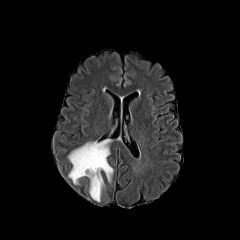
FLAIR MR image.
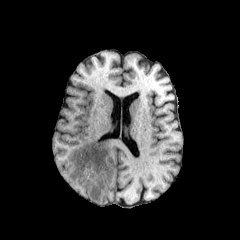
T1-weighted magnetic resonance of the same slice.
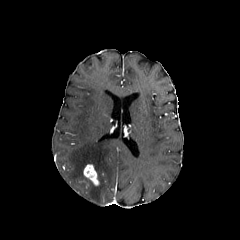
Post-contrast T1-weighted MR image of the same slice.
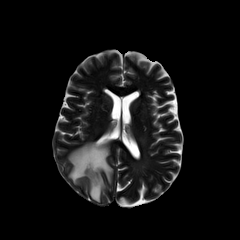
T2-weighted MRI of the same slice.
Brain.
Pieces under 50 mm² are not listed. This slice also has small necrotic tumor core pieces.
enhancing tumor: [83, 164, 99, 185] | peritumoral edema: [68, 140, 113, 201]